Image covers 240 mm x 240 mm; Slice 95/155; Axial slice; 240x240 px
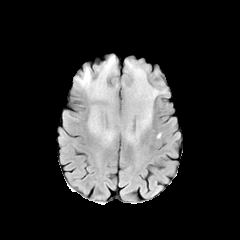
FLAIR MR.
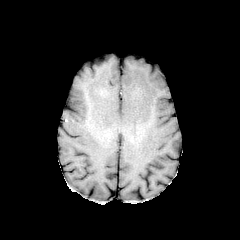
Same slice, T1-weighted MRI.
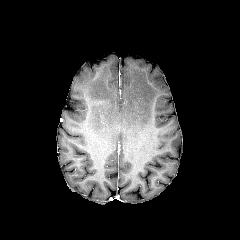
Post-contrast T1-weighted MR.
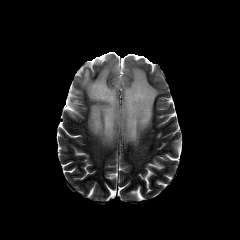
T2-weighted MR image.
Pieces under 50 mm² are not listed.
peritumoral edema — 76:55:165:141